Head. Axial view. Image width 240 mm, 1.00 mm slice spacing.
FLAIR MR.
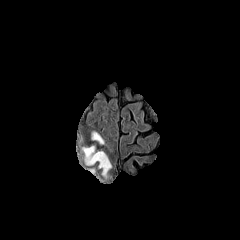
T1-weighted MR.
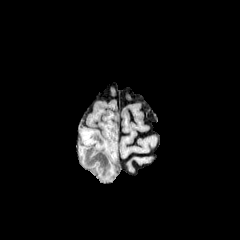
Post-contrast T1-weighted MR.
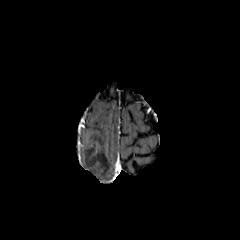
T2-weighted MRI.
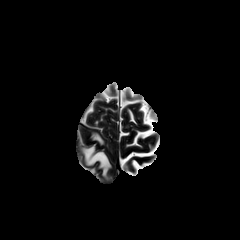
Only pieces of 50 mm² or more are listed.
<segmentation>
  <peritumoral_edema>92, 132, 104, 144; 82, 146, 111, 177</peritumoral_edema>
</segmentation>